FLAIR MR image.
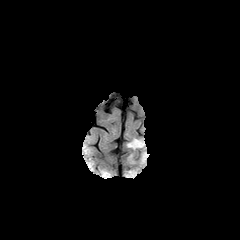
T1-weighted MR.
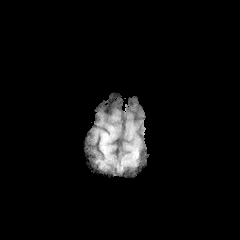
Post-contrast T1-weighted MR.
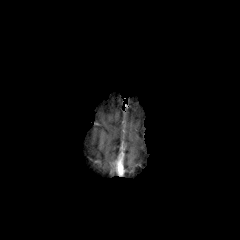
T2-weighted MR image.
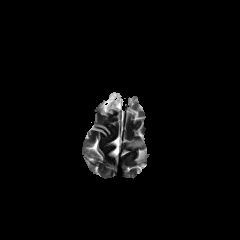
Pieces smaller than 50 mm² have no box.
peritumoral edema: x1=127 y1=139 x2=144 y2=148